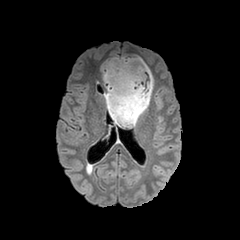
FLAIR magnetic resonance.
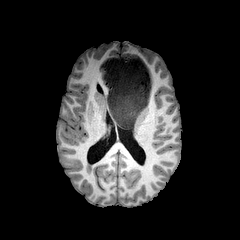
T1-weighted MRI of the same slice.
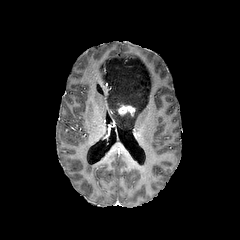
Post-contrast T1-weighted MRI of the same slice.
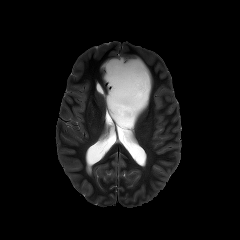
Same slice, T2-weighted magnetic resonance.
Axial slice. 240x240 px.
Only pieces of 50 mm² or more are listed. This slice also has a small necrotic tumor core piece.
<segmentation>
  <peritumoral_edema>102, 57, 153, 127</peritumoral_edema>
  <enhancing_tumor>118, 105, 135, 116</enhancing_tumor>
</segmentation>